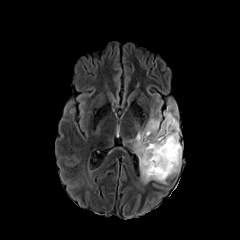
FLAIR MR.
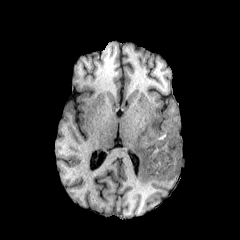
Same slice, T1-weighted magnetic resonance.
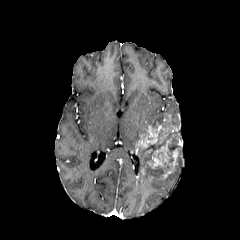
Post-contrast T1-weighted MR image.
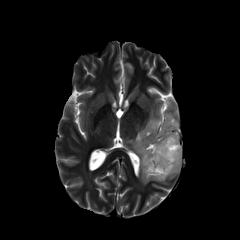
T2-weighted magnetic resonance of the same slice.
Head
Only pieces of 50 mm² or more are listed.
The 2 largest enhancing tumor regions appear at <box>147,139,178,179</box>, <box>135,123,179,153</box>. The 3 largest peritumoral edema regions are located at <box>130,113,162,150</box>, <box>152,156,180,183</box>, <box>164,105,178,127</box>. The 3 largest necrotic tumor core regions are located at <box>143,162,170,179</box>, <box>138,129,180,166</box>, <box>159,121,174,128</box>.